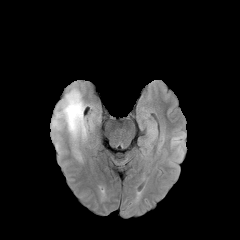
FLAIR magnetic resonance.
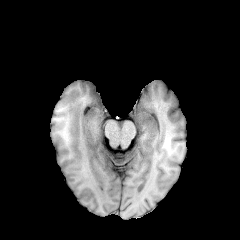
T1-weighted MR image.
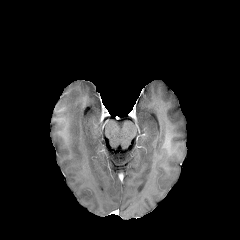
Post-contrast T1-weighted MR.
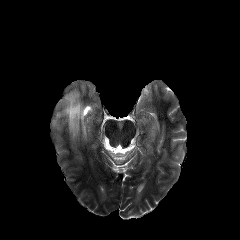
T2-weighted magnetic resonance.
Head
<segmentation>
  <peritumoral_edema>left=62, top=89, right=86, bottom=139</peritumoral_edema>
</segmentation>